Image size 240x240. Axial plane. Image covers 240 mm x 240 mm.
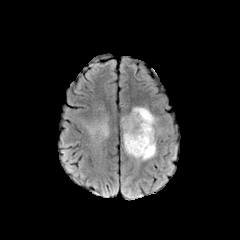
FLAIR MR image.
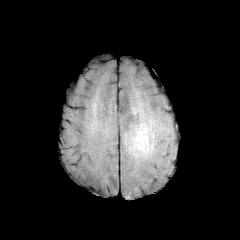
T1-weighted magnetic resonance.
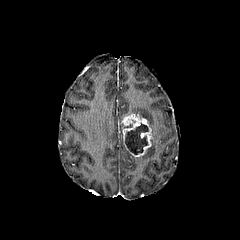
Post-contrast T1-weighted MRI.
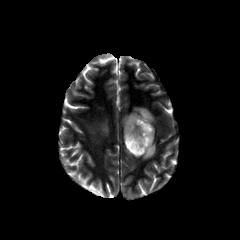
T2-weighted MRI.
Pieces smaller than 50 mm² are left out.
Annotated regions:
• necrotic tumor core: box=[125, 123, 148, 154]
• enhancing tumor: box=[122, 113, 152, 156]
• peritumoral edema: box=[130, 107, 156, 160]; box=[100, 123, 108, 135]